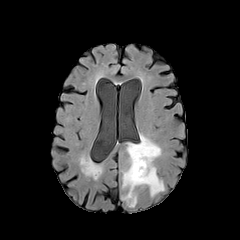
FLAIR MR.
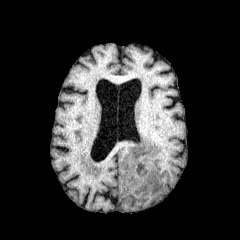
T1-weighted MR image.
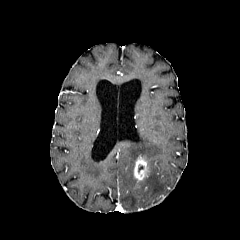
Same slice, post-contrast T1-weighted MR.
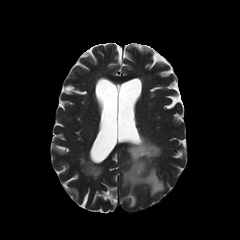
T2-weighted MR image.
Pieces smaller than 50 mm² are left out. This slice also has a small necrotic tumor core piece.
peritumoral edema: box=[122, 135, 164, 207] | enhancing tumor: box=[133, 155, 148, 181]